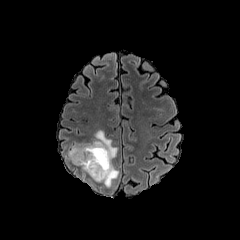
FLAIR MRI.
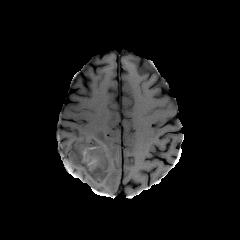
T1-weighted magnetic resonance.
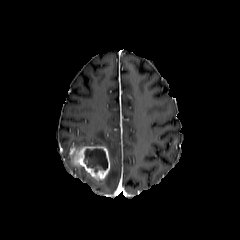
Same slice, post-contrast T1-weighted MRI.
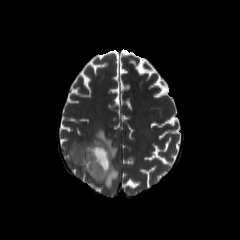
T2-weighted magnetic resonance.
240x240 px; Axial view; Brain
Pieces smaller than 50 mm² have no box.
peritumoral edema — (71, 130, 119, 186)
necrotic tumor core — (84, 148, 107, 171)
enhancing tumor — (69, 145, 110, 180)